Image width 240 mm. 240x240.
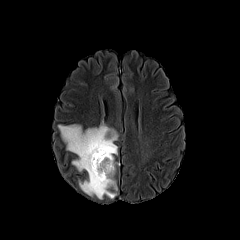
FLAIR magnetic resonance.
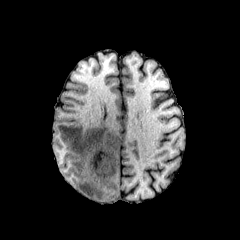
Same slice, T1-weighted MR.
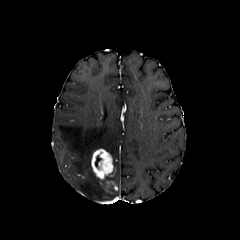
Post-contrast T1-weighted magnetic resonance of the same slice.
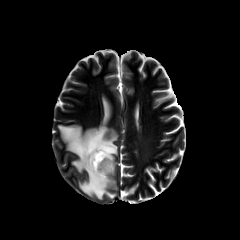
T2-weighted MR of the same slice.
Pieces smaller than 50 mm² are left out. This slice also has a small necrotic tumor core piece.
enhancing_tumor:
  - box(105, 180, 117, 190)
  - box(91, 148, 114, 180)
peritumoral_edema:
  - box(58, 122, 118, 199)